Slice 54 of 155. Axial view. Image width 240 mm.
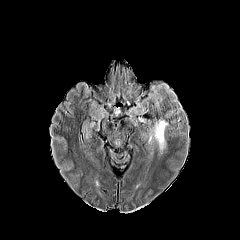
FLAIR magnetic resonance.
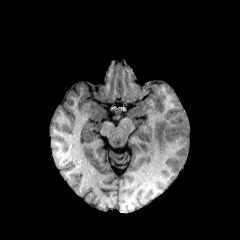
Same slice, T1-weighted MR.
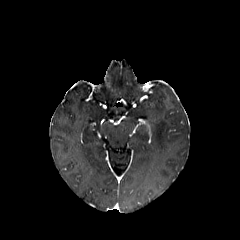
Post-contrast T1-weighted magnetic resonance.
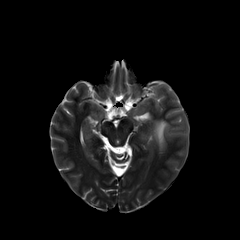
Same slice, T2-weighted MR image.
The peritumoral edema is bounded by (154,120,168,149).